Image covers 240 mm x 240 mm.
FLAIR magnetic resonance.
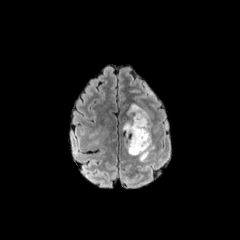
T1-weighted MR.
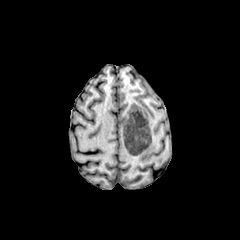
Post-contrast T1-weighted MR.
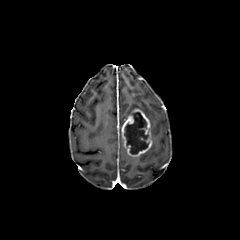
T2-weighted MRI.
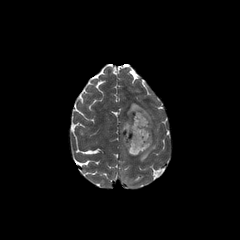
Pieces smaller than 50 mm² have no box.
enhancing tumor — 121:108:152:156
necrotic tumor core — 124:112:148:154
peritumoral edema — 139:143:154:161, 127:103:152:128